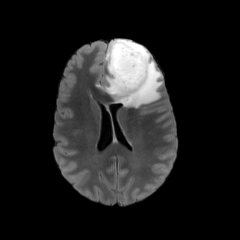
FLAIR MRI.
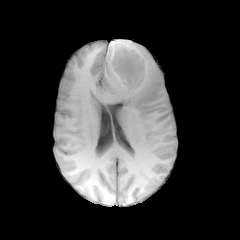
Same slice, T1-weighted magnetic resonance.
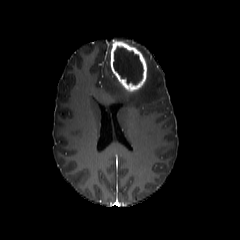
Post-contrast T1-weighted MR.
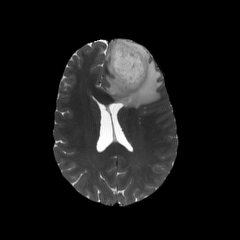
Same slice, T2-weighted MR image.
The necrotic tumor core is at 113, 46, 143, 84. The peritumoral edema lies within 95, 39, 162, 108. The enhancing tumor is bounded by 110, 41, 147, 92.